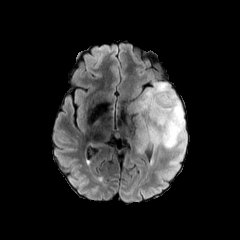
FLAIR MRI.
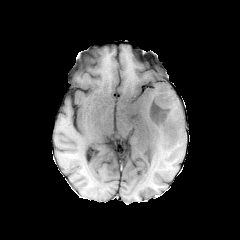
Same slice, T1-weighted magnetic resonance.
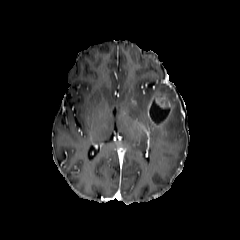
Post-contrast T1-weighted magnetic resonance of the same slice.
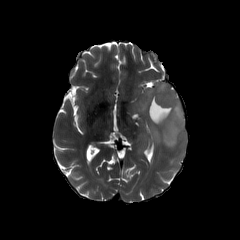
T2-weighted magnetic resonance of the same slice.
Axial plane; 240x240
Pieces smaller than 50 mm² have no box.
Findings:
- enhancing tumor: 148, 93, 172, 125
- peritumoral edema: 128, 82, 185, 153
- necrotic tumor core: 149, 100, 169, 123